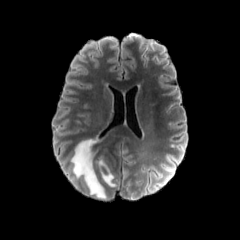
FLAIR magnetic resonance.
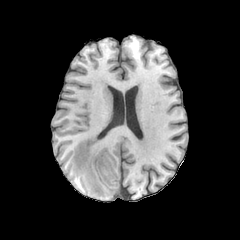
T1-weighted MR image of the same slice.
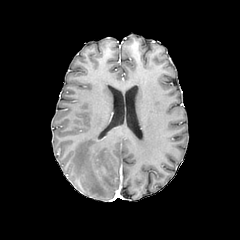
Same slice, post-contrast T1-weighted MR image.
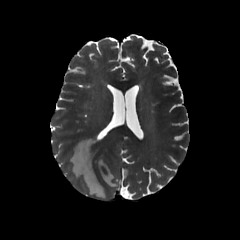
Same slice, T2-weighted MR image.
peritumoral edema: bounding box bbox(71, 139, 107, 198); bbox(98, 159, 115, 186)